Axial plane | Brain | Image width 240 mm | Slice index 91
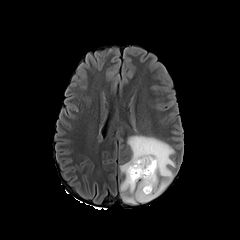
FLAIR MR image.
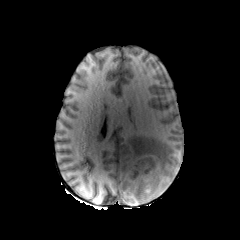
T1-weighted MRI of the same slice.
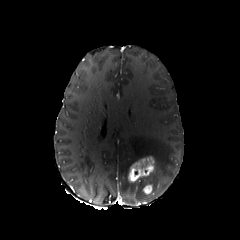
Same slice, post-contrast T1-weighted MRI.
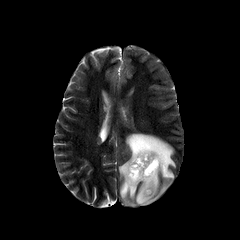
T2-weighted MRI.
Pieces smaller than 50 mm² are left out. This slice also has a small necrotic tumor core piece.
{
  "peritumoral_edema": [
    "[x1=119, y1=134, x2=175, y2=205]"
  ],
  "enhancing_tumor": [
    "[x1=127, y1=156, x2=155, y2=182]",
    "[x1=142, y1=184, x2=152, y2=194]"
  ]
}